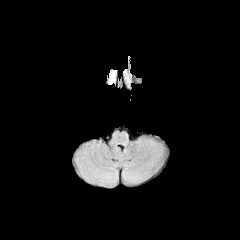
FLAIR MR image.
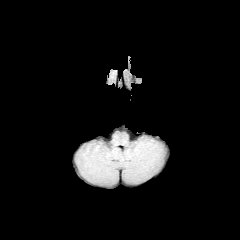
Same slice, T1-weighted magnetic resonance.
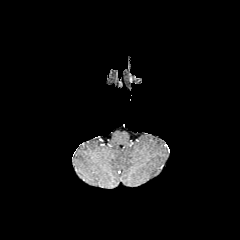
Post-contrast T1-weighted magnetic resonance.
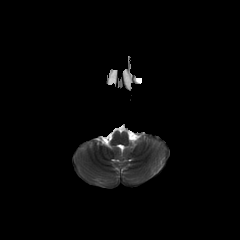
T2-weighted MRI.
Brain
<segmentation>
  <peritumoral_edema>107 69 117 84</peritumoral_edema>
</segmentation>